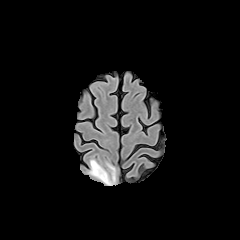
FLAIR MR.
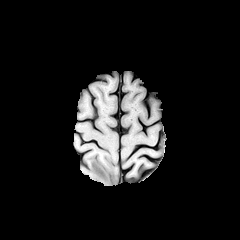
T1-weighted magnetic resonance.
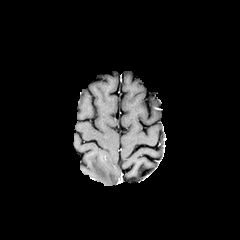
Post-contrast T1-weighted MR.
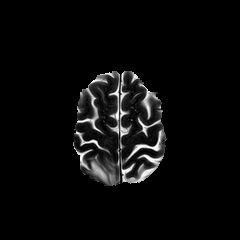
T2-weighted MR.
Axial slice, Brain
<segmentation>
  <peritumoral_edema>region(88, 159, 116, 185)</peritumoral_edema>
</segmentation>